FLAIR MR image.
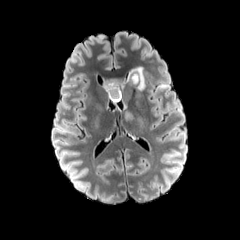
T1-weighted MR image.
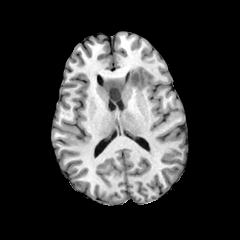
Post-contrast T1-weighted magnetic resonance.
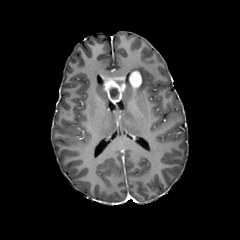
T2-weighted magnetic resonance.
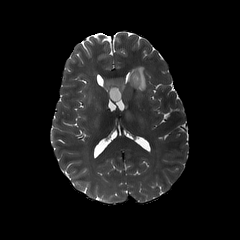
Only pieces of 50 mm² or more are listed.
peritumoral edema: bounding box 125,65,146,90; 124,111,132,121
necrotic tumor core: bounding box 110,88,118,97; 131,74,139,84
enhancing tumor: bounding box 130,71,142,89; 103,76,125,104